Axial slice, Image size 240x240, Image width 240 mm
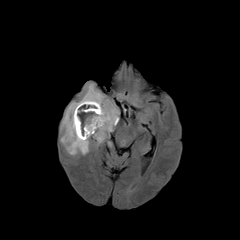
FLAIR magnetic resonance.
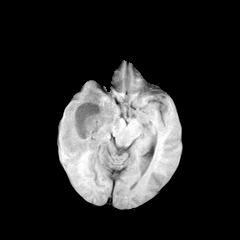
T1-weighted magnetic resonance.
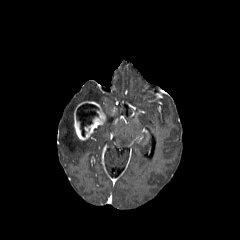
Same slice, post-contrast T1-weighted magnetic resonance.
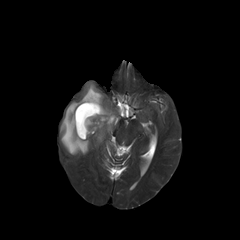
T2-weighted MR.
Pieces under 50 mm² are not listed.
peritumoral edema: (left=60, top=83, right=118, bottom=155) | enhancing tumor: (left=74, top=101, right=106, bottom=140) | necrotic tumor core: (left=76, top=103, right=98, bottom=136)